Slice 73/155, 240x240
FLAIR magnetic resonance.
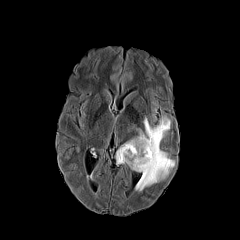
T1-weighted MR image.
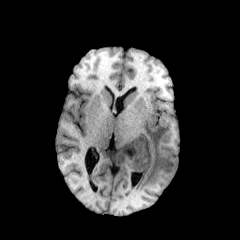
Post-contrast T1-weighted MR.
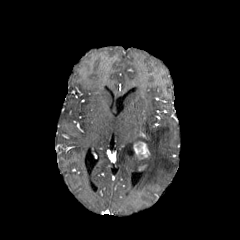
T2-weighted MR.
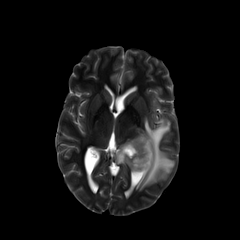
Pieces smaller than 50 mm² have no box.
The peritumoral edema lies within (left=116, top=116, right=174, bottom=191). The largest enhancing tumor region is located at (left=133, top=141, right=150, bottom=159).